FLAIR magnetic resonance.
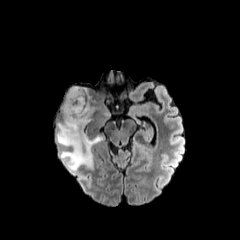
T1-weighted magnetic resonance.
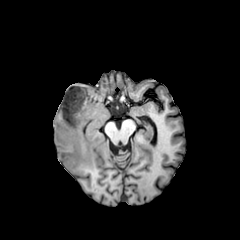
Post-contrast T1-weighted MRI.
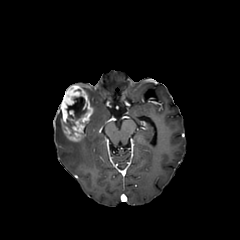
T2-weighted MR image.
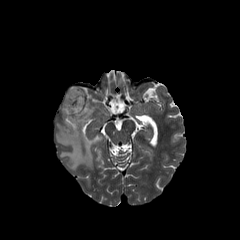
Image size 240x240
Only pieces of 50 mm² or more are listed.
enhancing tumor: bounding box <bbox>60, 85, 93, 141</bbox>
necrotic tumor core: bounding box <bbox>67, 97, 86, 119</bbox>
peritumoral edema: bounding box <bbox>56, 122, 102, 170</bbox>